Slice index 51, Image size 240x240
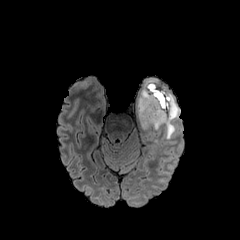
FLAIR MRI.
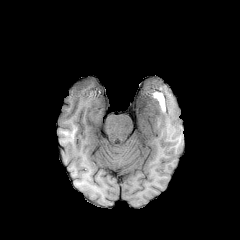
T1-weighted MRI.
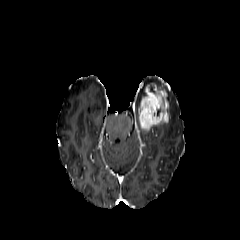
Post-contrast T1-weighted MR.
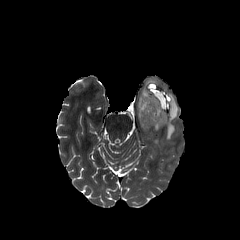
T2-weighted MR image.
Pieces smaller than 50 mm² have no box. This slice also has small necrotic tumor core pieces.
The enhancing tumor lies within x1=137 y1=81 x2=168 y2=131. The 2 largest peritumoral edema regions appear at x1=152 y1=93 x2=179 y2=139, x1=137 y1=88 x2=144 y2=110.